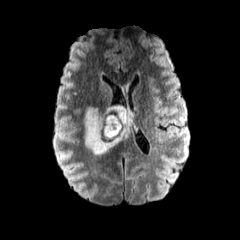
FLAIR MRI.
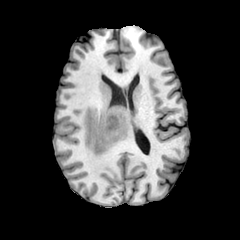
T1-weighted magnetic resonance of the same slice.
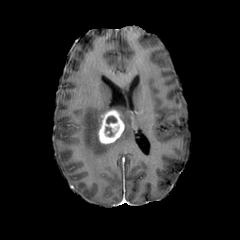
Post-contrast T1-weighted MR.
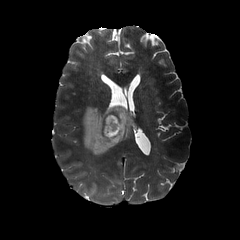
T2-weighted MR.
240x240
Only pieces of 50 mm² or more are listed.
<segmentation>
  <peritumoral_edema>box(84, 104, 136, 157)</peritumoral_edema>
  <enhancing_tumor>box(98, 109, 124, 144)</enhancing_tumor>
  <necrotic_tumor_core>box(104, 124, 118, 138); box(106, 115, 117, 123)</necrotic_tumor_core>
</segmentation>